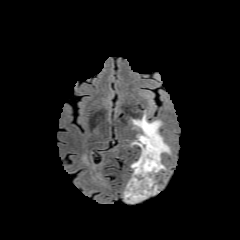
FLAIR MRI.
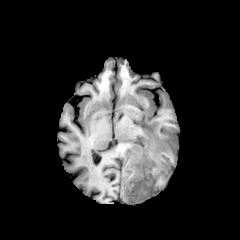
Same slice, T1-weighted MRI.
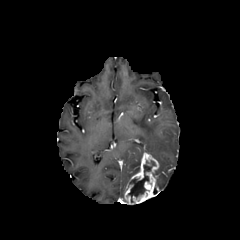
Post-contrast T1-weighted MR of the same slice.
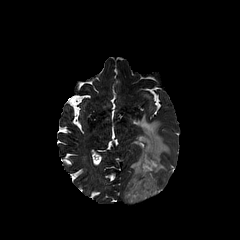
Same slice, T2-weighted MR.
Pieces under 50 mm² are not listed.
necrotic tumor core: (left=128, top=161, right=155, bottom=202)
enhancing tumor: (left=124, top=152, right=159, bottom=204)
peritumoral edema: (left=131, top=114, right=170, bottom=174)